FLAIR MR image.
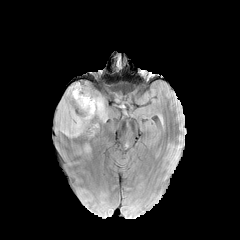
T1-weighted magnetic resonance.
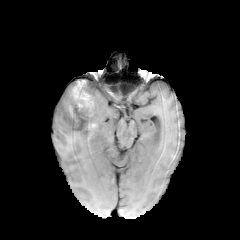
Post-contrast T1-weighted MRI.
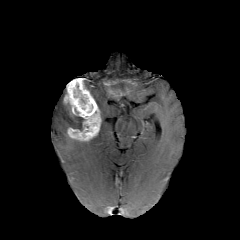
T2-weighted MRI.
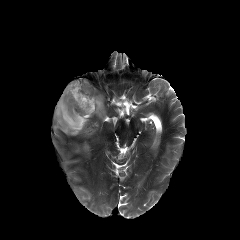
Brain
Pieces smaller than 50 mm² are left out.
The 2 largest peritumoral edema regions are bounded by bbox(56, 97, 84, 135); bbox(93, 96, 106, 121). The enhancing tumor is located at bbox(63, 80, 101, 140). 2 necrotic tumor core regions appear at bbox(74, 86, 88, 107); bbox(84, 124, 94, 135).